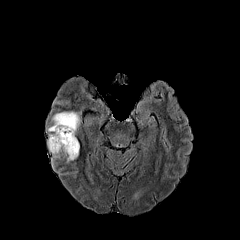
FLAIR magnetic resonance.
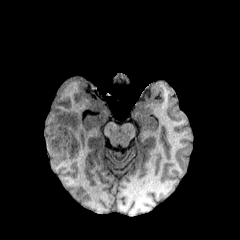
Same slice, T1-weighted magnetic resonance.
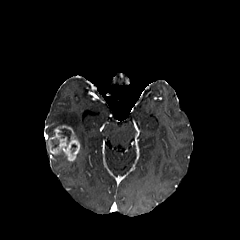
Post-contrast T1-weighted magnetic resonance of the same slice.
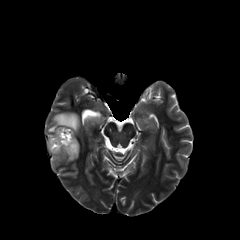
T2-weighted MRI of the same slice.
Brain, Axial view
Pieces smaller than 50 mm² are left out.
{
  "enhancing_tumor": [
    "box(47, 125, 80, 161)"
  ],
  "peritumoral_edema": [
    "box(47, 111, 81, 136)"
  ],
  "necrotic_tumor_core": [
    "box(59, 128, 71, 144)"
  ]
}